FLAIR MRI.
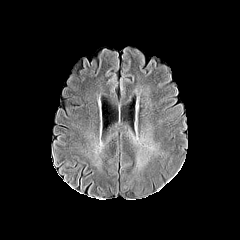
T1-weighted MRI.
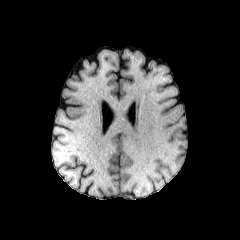
Post-contrast T1-weighted MRI.
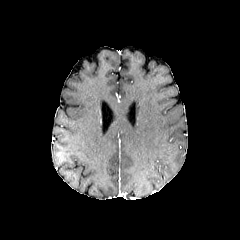
T2-weighted MRI.
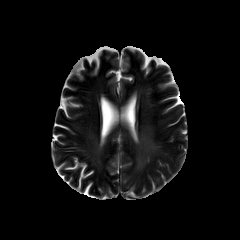
Head. Image size 240x240.
peritumoral edema: box(136, 155, 148, 169); box(145, 145, 156, 152)